Axial view
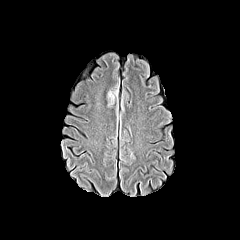
FLAIR MRI.
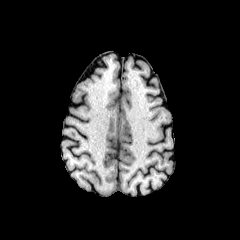
T1-weighted MR.
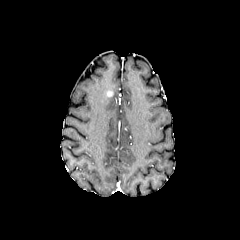
Post-contrast T1-weighted MR.
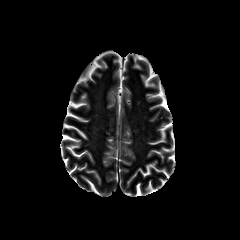
T2-weighted MRI.
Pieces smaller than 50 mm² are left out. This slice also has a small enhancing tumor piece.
peritumoral edema: l=106, t=82, r=118, b=106